FLAIR MRI.
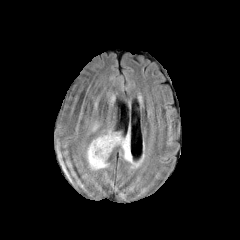
T1-weighted magnetic resonance.
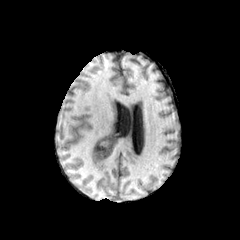
Post-contrast T1-weighted MR image.
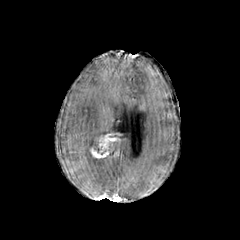
T2-weighted MR image.
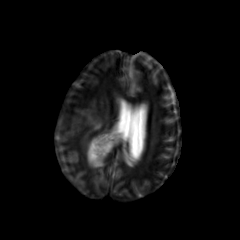
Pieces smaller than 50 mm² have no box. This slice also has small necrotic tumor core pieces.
The 2 largest peritumoral edema regions appear at 87, 137, 107, 169; 113, 135, 131, 161. The enhancing tumor appears at 90, 132, 120, 158.